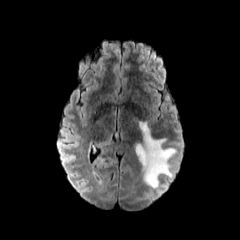
FLAIR MRI.
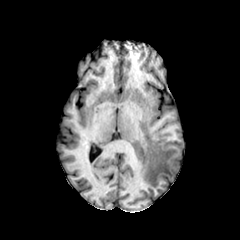
T1-weighted MR of the same slice.
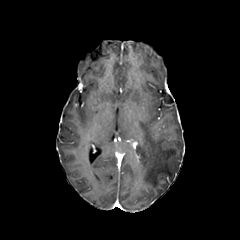
Post-contrast T1-weighted MR.
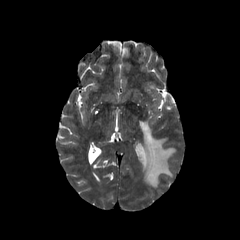
T2-weighted MR image.
Axial slice, Head
The peritumoral edema is located at x1=135, y1=122, x2=176, y2=188.